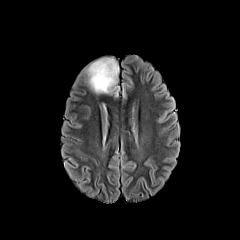
FLAIR MR image.
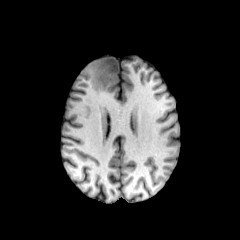
T1-weighted MR of the same slice.
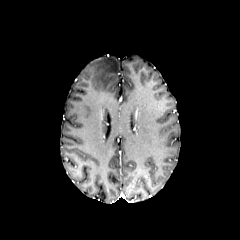
Post-contrast T1-weighted magnetic resonance of the same slice.
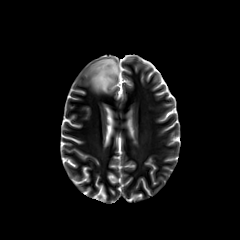
T2-weighted magnetic resonance.
Brain
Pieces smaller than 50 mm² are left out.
peritumoral edema: bbox(87, 58, 118, 93)